FLAIR magnetic resonance.
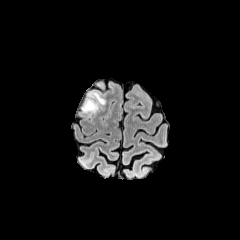
T1-weighted magnetic resonance.
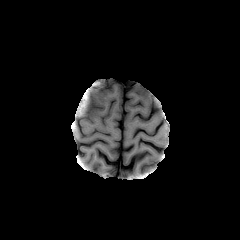
Post-contrast T1-weighted MR image.
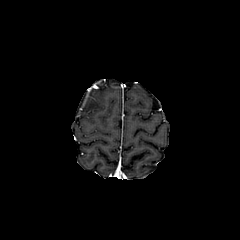
T2-weighted MRI.
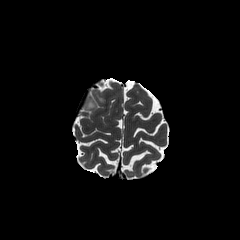
Annotated regions:
• peritumoral edema: [82, 91, 105, 113]